Slice index 70; Brain; Axial slice; 240x240 px
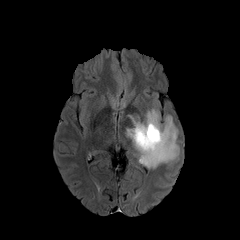
FLAIR magnetic resonance.
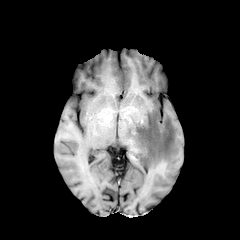
T1-weighted MR image.
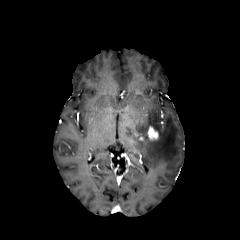
Post-contrast T1-weighted MRI.
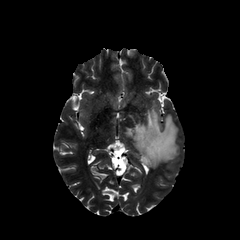
T2-weighted MR image.
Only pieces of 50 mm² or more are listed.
<segmentation>
  <enhancing_tumor>box(147, 126, 158, 140)</enhancing_tumor>
  <peritumoral_edema>box(126, 108, 179, 168)</peritumoral_edema>
</segmentation>